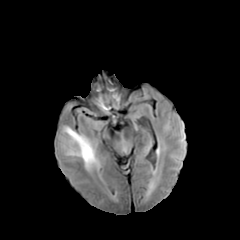
FLAIR MR.
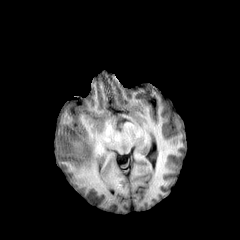
T1-weighted MR.
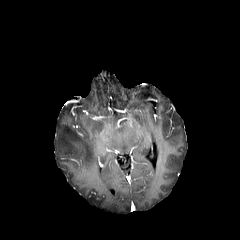
Post-contrast T1-weighted MR image.
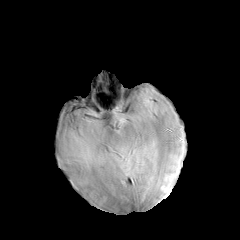
T2-weighted MR of the same slice.
peritumoral edema: left=65, top=128, right=97, bottom=169